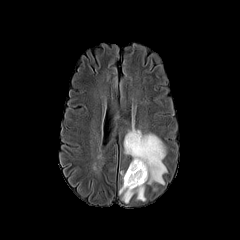
FLAIR MR image.
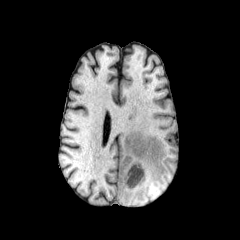
T1-weighted magnetic resonance.
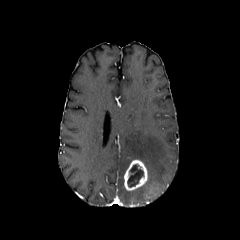
Same slice, post-contrast T1-weighted MRI.
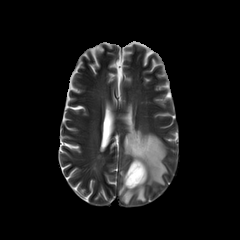
T2-weighted magnetic resonance of the same slice.
Brain
2 peritumoral edema regions are located at box(124, 124, 167, 184); box(119, 171, 145, 203). The enhancing tumor lies within box(124, 159, 147, 190). The necrotic tumor core is located at box(127, 164, 143, 187).